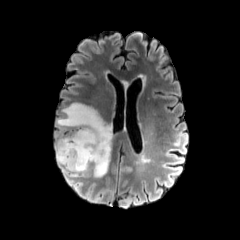
FLAIR magnetic resonance.
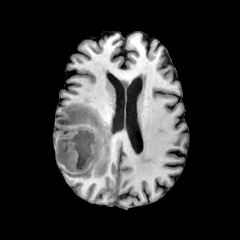
T1-weighted MR.
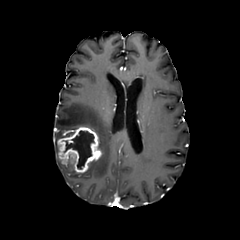
Post-contrast T1-weighted MR image.
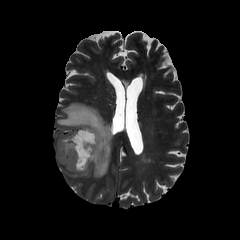
T2-weighted MRI of the same slice.
Image size 240x240
enhancing_tumor:
  - 57:126:101:172
peritumoral_edema:
  - 55:102:112:177
necrotic_tumor_core:
  - 64:130:94:169